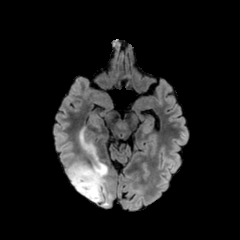
FLAIR MR.
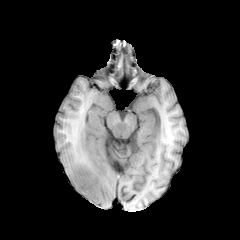
Same slice, T1-weighted MR.
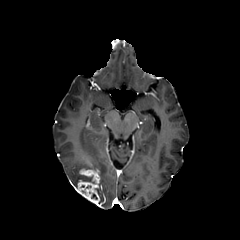
Same slice, post-contrast T1-weighted magnetic resonance.
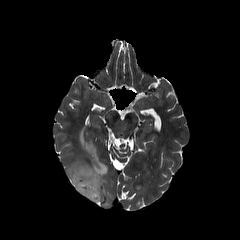
T2-weighted MR image.
Head
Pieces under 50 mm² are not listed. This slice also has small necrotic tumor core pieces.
peritumoral edema — 66, 129, 112, 206
enhancing tumor — 76, 168, 100, 205